FLAIR magnetic resonance.
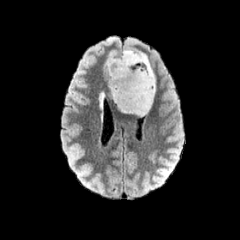
T1-weighted magnetic resonance.
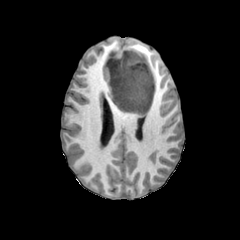
Post-contrast T1-weighted MRI.
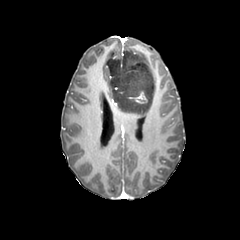
T2-weighted MR image.
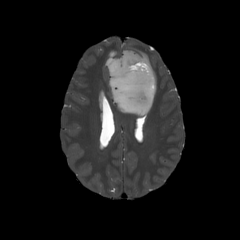
Axial view.
The enhancing tumor appears at bbox(135, 92, 148, 103). The peritumoral edema appears at bbox(106, 48, 155, 116).